FLAIR MR.
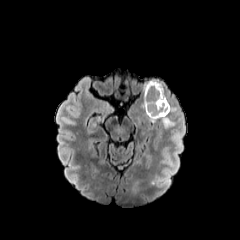
T1-weighted MRI.
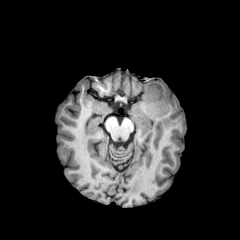
Post-contrast T1-weighted MRI.
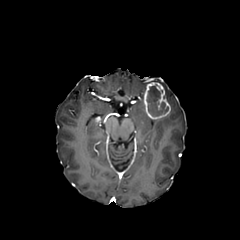
T2-weighted MR image.
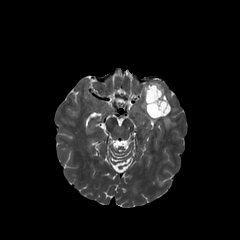
Axial slice, Brain
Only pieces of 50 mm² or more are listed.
peritumoral_edema:
  - <box>160,115,173,127</box>
  - <box>143,79,163,99</box>
necrotic_tumor_core:
  - <box>147,84,168,116</box>
enhancing_tumor:
  - <box>143,82,170,119</box>